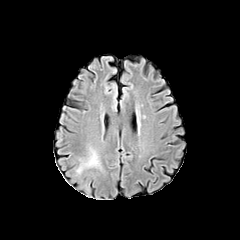
FLAIR MR image.
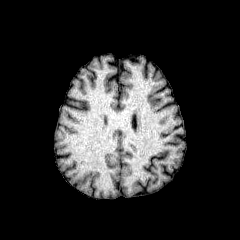
T1-weighted MR.
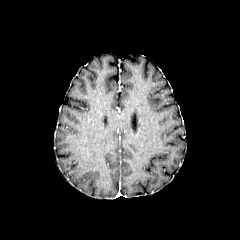
Same slice, post-contrast T1-weighted MRI.
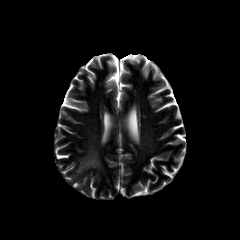
T2-weighted MR.
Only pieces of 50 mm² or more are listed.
* peritumoral edema: left=86, top=152, right=98, bottom=165